Slice index 66 | Brain | Image size 240x240
FLAIR MR.
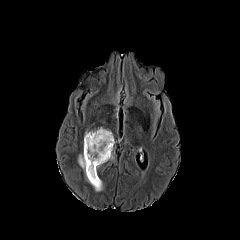
T1-weighted MR image.
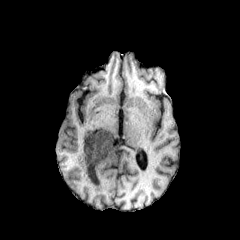
Post-contrast T1-weighted MRI.
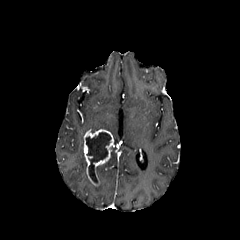
T2-weighted MRI.
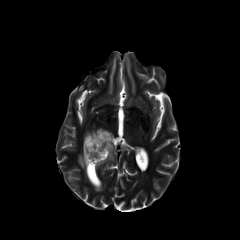
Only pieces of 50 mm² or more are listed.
necrotic tumor core = region(86, 132, 111, 183)
peritumoral edema = region(78, 152, 102, 191)
enhancing tumor = region(83, 129, 113, 186)